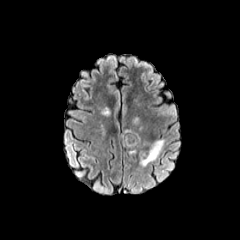
FLAIR magnetic resonance.
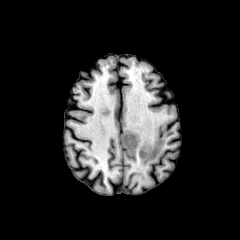
T1-weighted magnetic resonance of the same slice.
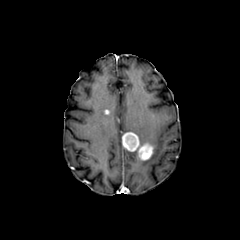
Post-contrast T1-weighted magnetic resonance.
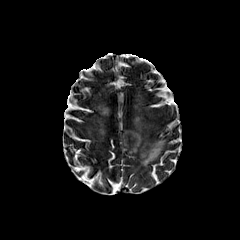
T2-weighted magnetic resonance of the same slice.
Head; 240x240 px; Axial view
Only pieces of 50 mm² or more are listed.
enhancing tumor = <box>122,132,153,160</box>
peritumoral edema = <box>140,139,165,166</box>